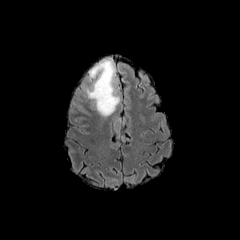
FLAIR MR image.
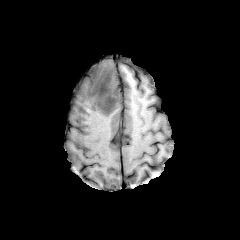
T1-weighted MRI.
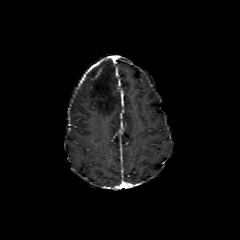
Post-contrast T1-weighted MRI of the same slice.
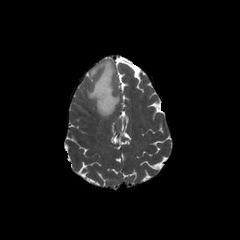
T2-weighted magnetic resonance.
Axial view. Image size 240x240.
The peritumoral edema is located at x1=86, y1=59, x2=119, y2=116.